Brain | Slice 123 of 155 | 240x240 px
FLAIR MRI.
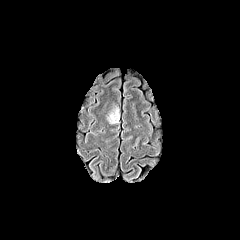
T1-weighted MR.
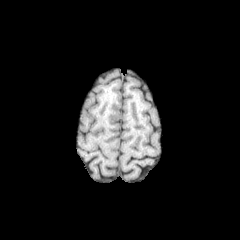
Post-contrast T1-weighted MRI.
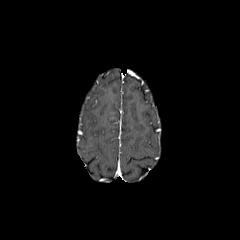
T2-weighted magnetic resonance.
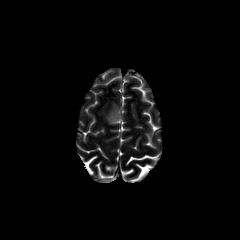
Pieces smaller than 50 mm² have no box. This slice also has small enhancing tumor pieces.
{
  "peritumoral_edema": [
    "108, 108, 119, 123"
  ]
}